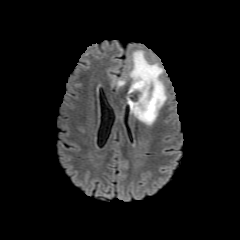
FLAIR MR image.
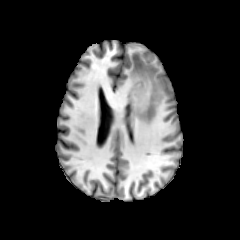
Same slice, T1-weighted magnetic resonance.
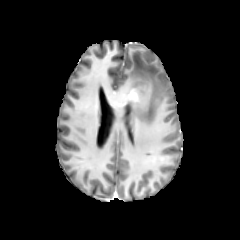
Same slice, post-contrast T1-weighted MR.
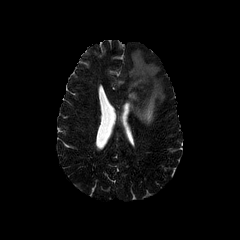
T2-weighted MRI.
240x240. Brain. Axial view.
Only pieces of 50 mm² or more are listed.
The largest peritumoral edema region lies within region(128, 51, 165, 124). The enhancing tumor lies within region(127, 87, 141, 103).